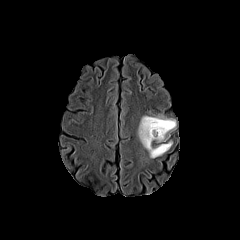
FLAIR magnetic resonance.
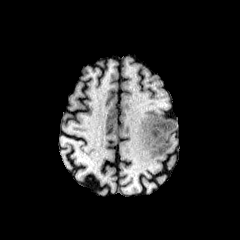
T1-weighted MRI of the same slice.
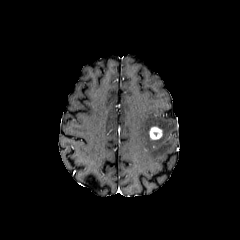
Post-contrast T1-weighted MRI of the same slice.
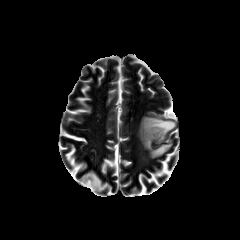
Same slice, T2-weighted magnetic resonance.
Axial slice. Head.
peritumoral edema: 138,115,176,158 | enhancing tumor: 149,126,162,139